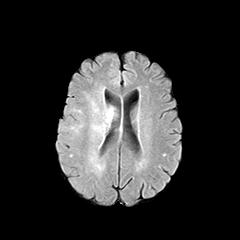
FLAIR magnetic resonance.
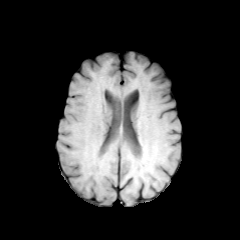
T1-weighted MR.
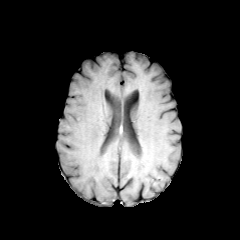
Post-contrast T1-weighted magnetic resonance.
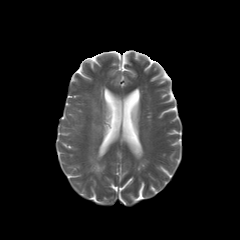
Same slice, T2-weighted MRI.
Brain
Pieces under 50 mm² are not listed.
peritumoral_edema:
  - 93, 104, 111, 140